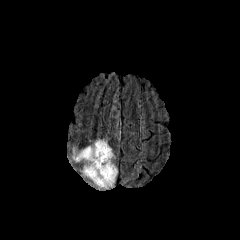
FLAIR MR image.
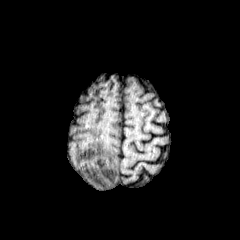
T1-weighted MRI.
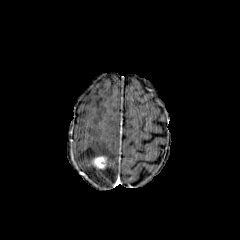
Same slice, post-contrast T1-weighted magnetic resonance.
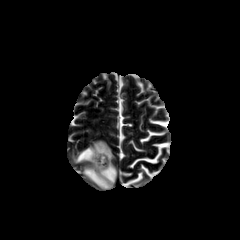
T2-weighted MR.
Axial view, Head
The peritumoral edema lies within 74, 140, 117, 188. The enhancing tumor appears at 91, 156, 107, 169.